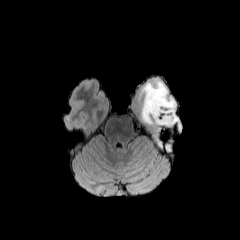
FLAIR MR image.
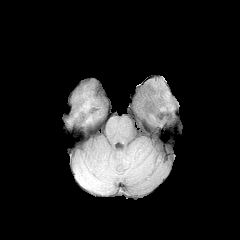
T1-weighted MRI.
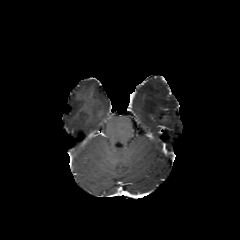
Same slice, post-contrast T1-weighted MR image.
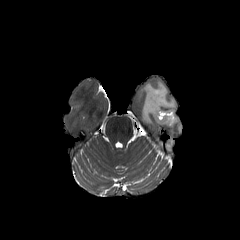
T2-weighted magnetic resonance.
Brain, Axial plane
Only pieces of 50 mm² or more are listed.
<segmentation>
  <peritumoral_edema>(x1=139, y1=80, x2=181, y2=150)</peritumoral_edema>
</segmentation>